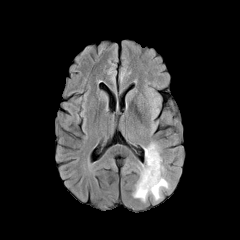
FLAIR MRI.
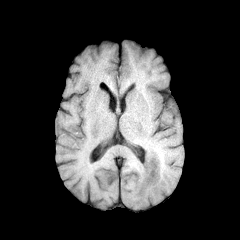
T1-weighted magnetic resonance of the same slice.
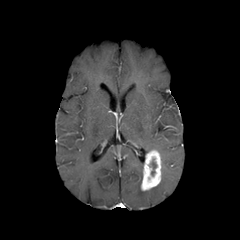
Post-contrast T1-weighted MR image of the same slice.
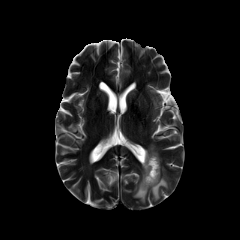
Same slice, T2-weighted MR image.
Head
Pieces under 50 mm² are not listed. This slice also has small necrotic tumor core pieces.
enhancing tumor — (x1=141, y1=150, x2=161, y2=190)
peritumoral edema — (x1=133, y1=164, x2=169, y2=202), (x1=144, y1=142, x2=160, y2=155)